FLAIR MR.
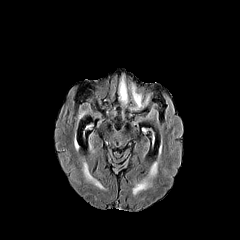
T1-weighted MR.
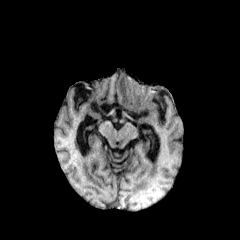
Post-contrast T1-weighted magnetic resonance.
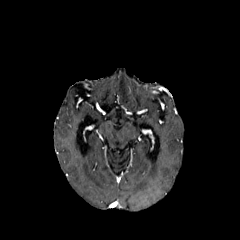
T2-weighted MR.
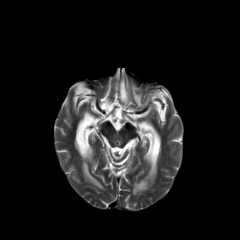
240x240 px
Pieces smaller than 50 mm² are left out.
peritumoral_edema:
  - left=133, top=179, right=148, bottom=194
  - left=149, top=163, right=156, bottom=176
  - left=132, top=86, right=142, bottom=107
  - left=119, top=79, right=127, bottom=103
  - left=89, top=173, right=102, bottom=189